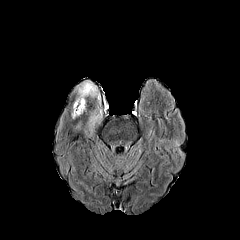
FLAIR MRI.
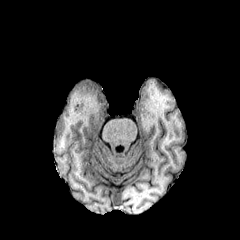
T1-weighted MR image of the same slice.
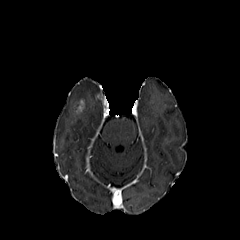
Same slice, post-contrast T1-weighted magnetic resonance.
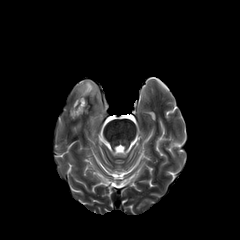
T2-weighted MRI.
Brain; Axial plane; 240x240 px
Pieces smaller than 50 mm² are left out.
The largest enhancing tumor region is at 76:99:84:113. The 2 largest peritumoral edema regions are bounded by 71:80:99:118, 90:105:101:122.